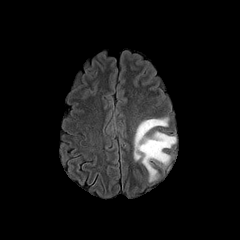
FLAIR MR.
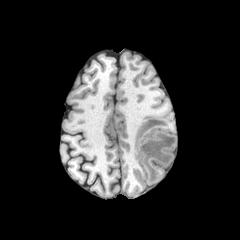
T1-weighted MR image.
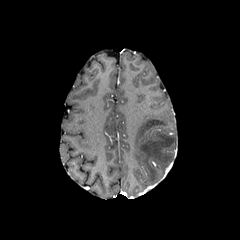
Post-contrast T1-weighted MRI of the same slice.
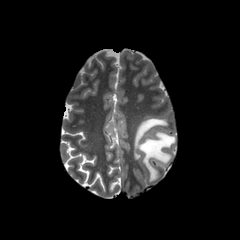
T2-weighted MR of the same slice.
peritumoral edema — (134, 118, 176, 181)